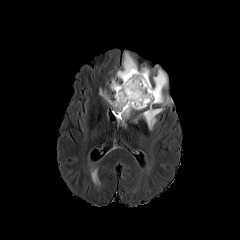
FLAIR magnetic resonance.
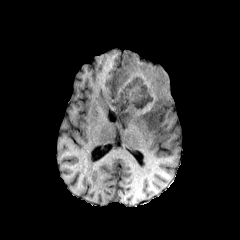
T1-weighted MRI of the same slice.
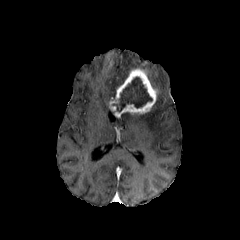
Post-contrast T1-weighted MRI of the same slice.
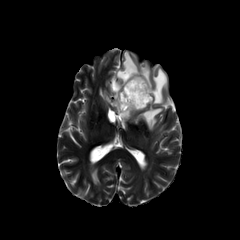
Same slice, T2-weighted magnetic resonance.
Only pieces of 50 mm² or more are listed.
necrotic tumor core at left=113, top=77, right=152, bottom=111
peritumoral edema at left=99, top=90, right=110, bottom=102; left=133, top=107, right=163, bottom=130; left=153, top=68, right=172, bottom=106; left=110, top=51, right=150, bottom=98; left=121, top=112, right=131, bottom=124
enhancing tumor at left=109, top=68, right=158, bottom=115